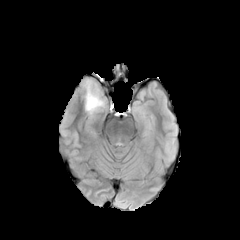
FLAIR MRI.
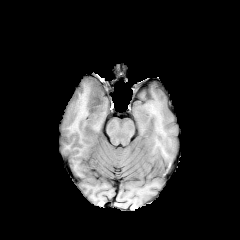
T1-weighted MR image.
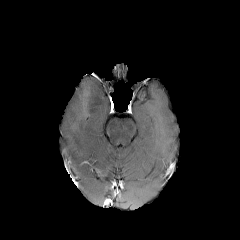
Same slice, post-contrast T1-weighted MR.
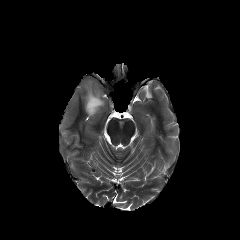
T2-weighted MR.
Head; Axial plane; Image size 240x240
Annotated regions:
• peritumoral edema: (85, 79, 104, 116)